Brain | 240x240
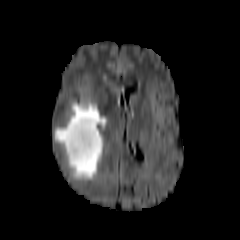
FLAIR MRI.
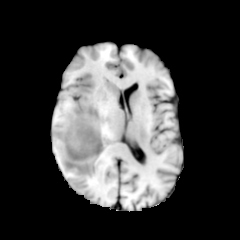
T1-weighted MR image.
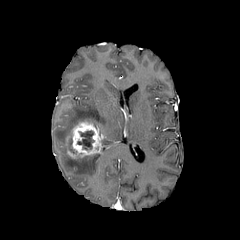
Post-contrast T1-weighted magnetic resonance.
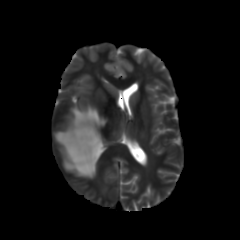
T2-weighted MR of the same slice.
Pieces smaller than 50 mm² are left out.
peritumoral_edema:
  - <bbox>55, 101, 107, 180</bbox>
necrotic_tumor_core:
  - <bbox>77, 131, 93, 149</bbox>
enhancing_tumor:
  - <bbox>65, 119, 100, 159</bbox>